Axial slice; Head; Slice 94/155
FLAIR MR image.
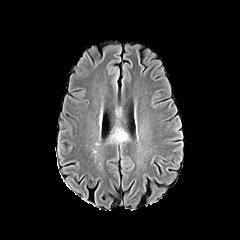
T1-weighted MR.
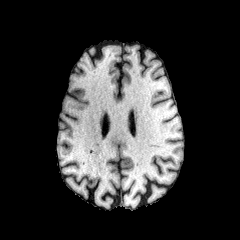
Post-contrast T1-weighted MRI.
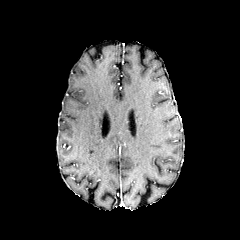
T2-weighted magnetic resonance.
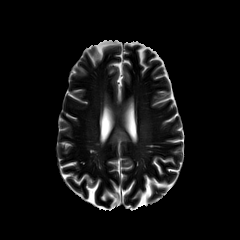
2 peritumoral edema regions are located at box=[116, 106, 122, 115]; box=[109, 128, 129, 142].